Image width 240 mm, 240x240, Head
FLAIR MR.
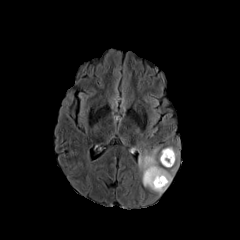
T1-weighted MR.
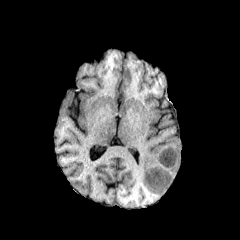
Post-contrast T1-weighted MR image.
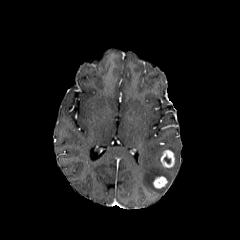
T2-weighted MRI.
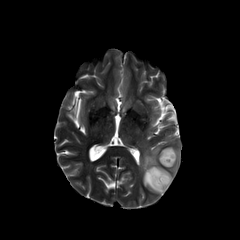
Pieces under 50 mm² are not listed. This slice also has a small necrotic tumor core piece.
2 enhancing tumor regions appear at <box>160,149,174,167</box>, <box>153,176,167,188</box>. The peritumoral edema lies within <box>138,146,179,195</box>.